Axial view; Image width 240 mm
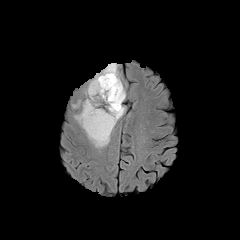
FLAIR MRI.
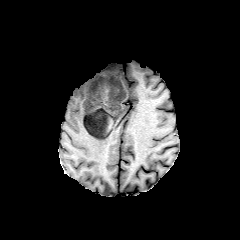
T1-weighted MRI.
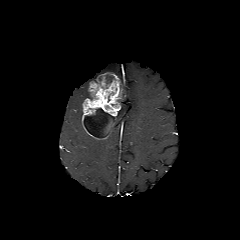
Post-contrast T1-weighted MRI.
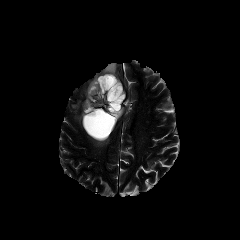
T2-weighted MR.
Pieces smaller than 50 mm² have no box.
necrotic tumor core at [x1=106, y1=75, x2=113, y2=83], [x1=84, y1=108, x2=115, y2=137]
enhancing tumor at [x1=82, y1=72, x2=125, y2=139]
peritumoral edema at [x1=91, y1=63, x2=119, y2=81], [x1=86, y1=133, x2=110, y2=148], [x1=113, y1=106, x2=125, y2=130], [x1=74, y1=107, x2=83, y2=129]